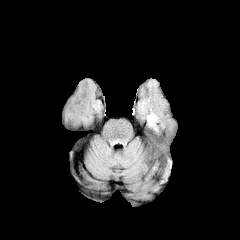
FLAIR MR image.
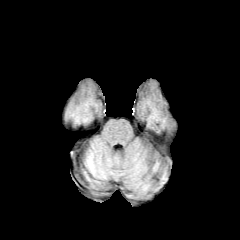
T1-weighted MRI.
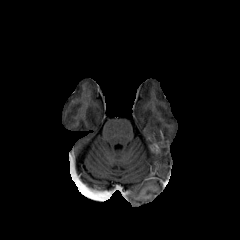
Post-contrast T1-weighted magnetic resonance of the same slice.
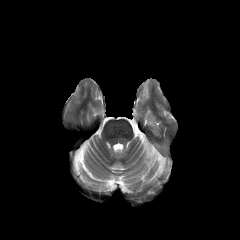
T2-weighted MR image.
Image size 240x240. Axial slice.
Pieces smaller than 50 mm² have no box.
peritumoral edema: bbox=[148, 114, 157, 131] | enhancing tumor: bbox=[150, 144, 159, 153]